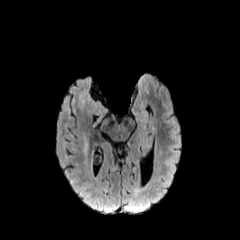
FLAIR MR image.
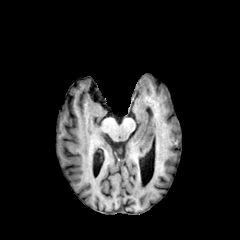
T1-weighted MR of the same slice.
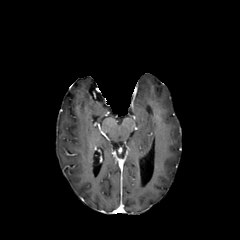
Post-contrast T1-weighted MR.
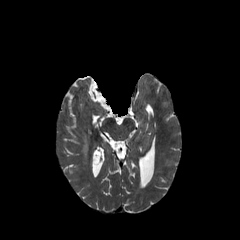
T2-weighted magnetic resonance.
The peritumoral edema is located at [82, 138, 88, 163].